FLAIR MR image.
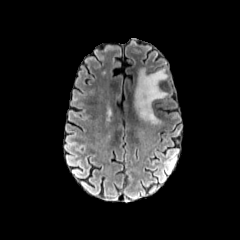
T1-weighted magnetic resonance.
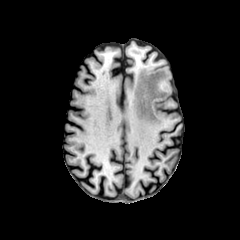
Post-contrast T1-weighted MRI.
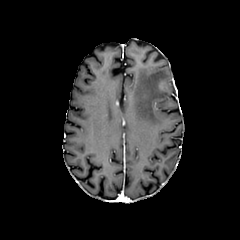
T2-weighted MR.
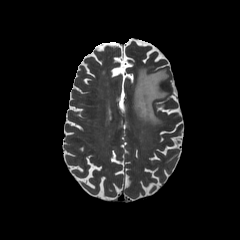
Image size 240x240; Brain
peritumoral edema: bbox=[134, 68, 168, 124]